240x240 px
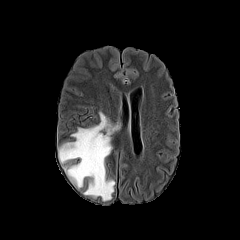
FLAIR MRI.
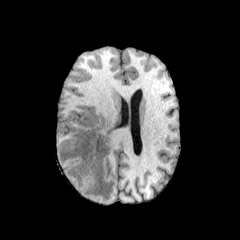
T1-weighted MR image.
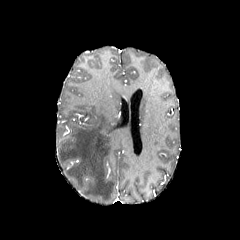
Post-contrast T1-weighted MR image.
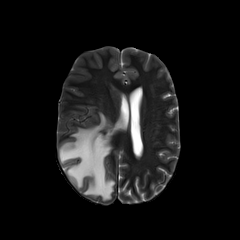
Same slice, T2-weighted magnetic resonance.
The peritumoral edema lies within left=58, top=112, right=120, bottom=200.